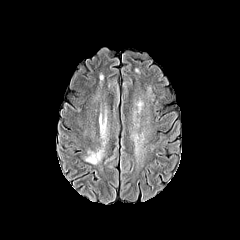
FLAIR MR image.
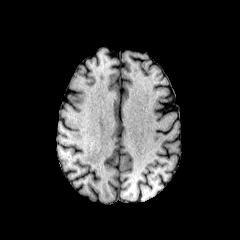
T1-weighted MR image of the same slice.
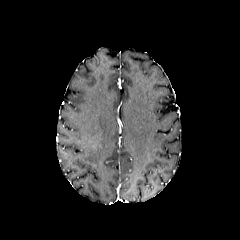
Post-contrast T1-weighted MR.
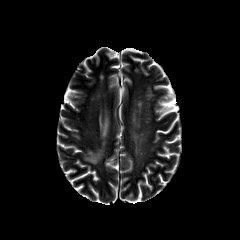
Same slice, T2-weighted MR image.
240x240 px.
peritumoral edema at {"x1": 85, "y1": 121, "x2": 106, "y2": 164}